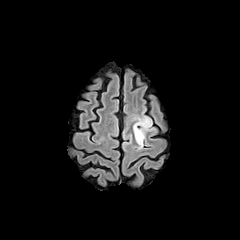
FLAIR MRI.
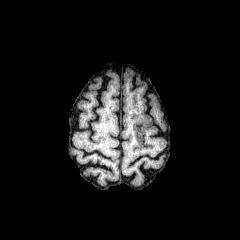
Same slice, T1-weighted MRI.
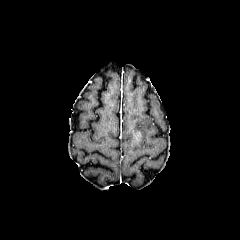
Post-contrast T1-weighted MR.
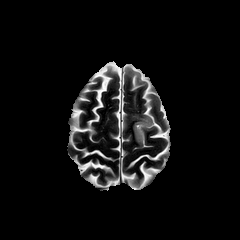
T2-weighted MR.
Axial slice | Head | 240x240 px
Annotated regions:
• peritumoral edema: {"x1": 132, "y1": 113, "x2": 154, "y2": 149}
• enhancing tumor: {"x1": 135, "y1": 131, "x2": 142, "y2": 141}